Slice 98 of 155 | Image width 240 mm | Axial view
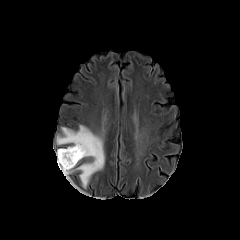
FLAIR magnetic resonance.
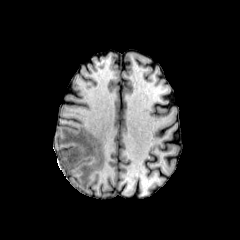
T1-weighted MR of the same slice.
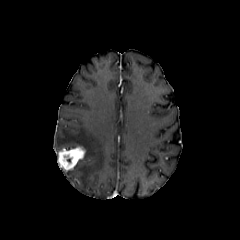
Post-contrast T1-weighted MR.
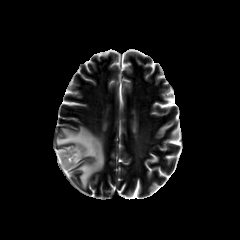
T2-weighted MRI.
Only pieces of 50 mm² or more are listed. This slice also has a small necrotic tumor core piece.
{"peritumoral_edema": ["(56,125,104,188)"], "enhancing_tumor": ["(57,146,85,171)"]}